Brain; Axial view; Slice index 30
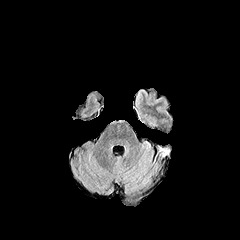
FLAIR magnetic resonance.
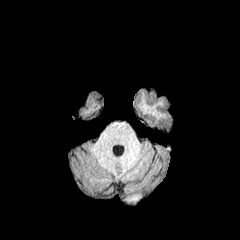
T1-weighted magnetic resonance.
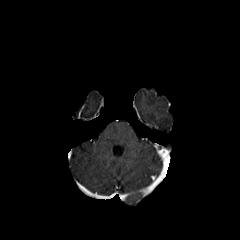
Post-contrast T1-weighted MRI.
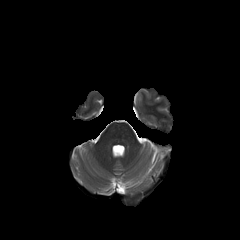
T2-weighted MR image.
The enhancing tumor lies within left=158, top=147, right=169, bottom=157.